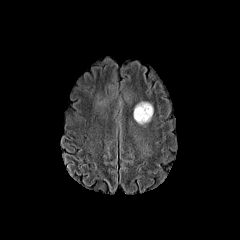
FLAIR magnetic resonance.
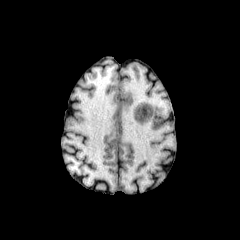
T1-weighted MR.
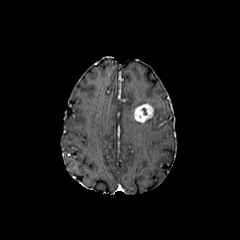
Post-contrast T1-weighted MRI.
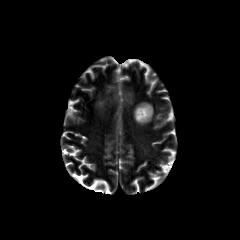
T2-weighted magnetic resonance.
Axial view. Image size 240x240.
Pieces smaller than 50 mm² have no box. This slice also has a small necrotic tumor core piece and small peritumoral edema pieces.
enhancing tumor: rect(134, 103, 153, 123)